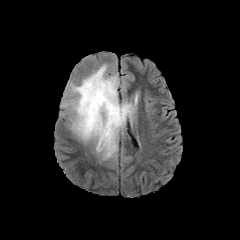
FLAIR MRI.
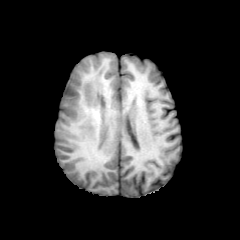
Same slice, T1-weighted MRI.
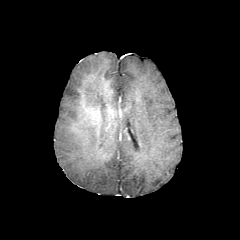
Post-contrast T1-weighted MR.
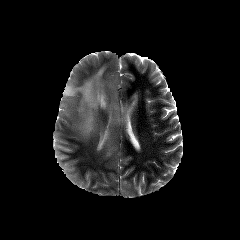
T2-weighted MRI of the same slice.
peritumoral edema = (x1=62, y1=64, x2=137, y2=158)